Brain.
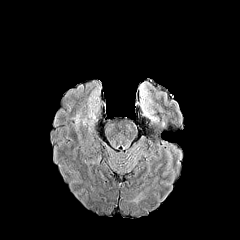
FLAIR MRI.
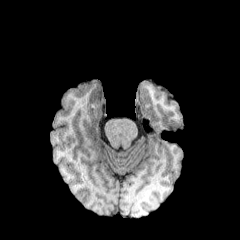
T1-weighted MR.
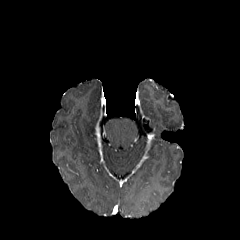
Same slice, post-contrast T1-weighted MR image.
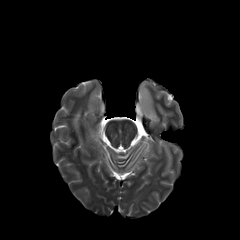
T2-weighted MR of the same slice.
peritumoral edema: box=[139, 83, 153, 119]